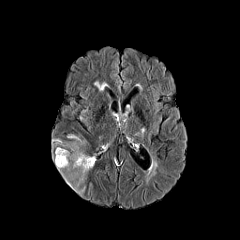
FLAIR MR image.
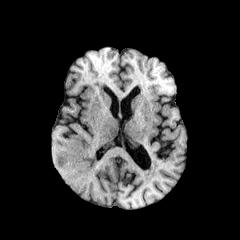
T1-weighted MR image.
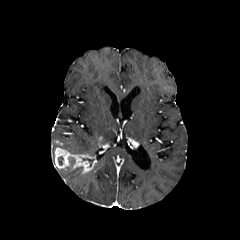
Post-contrast T1-weighted magnetic resonance.
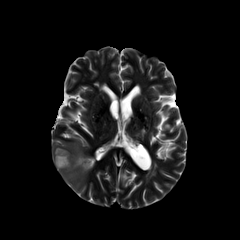
Same slice, T2-weighted MRI.
Brain.
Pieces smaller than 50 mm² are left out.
peritumoral edema = [58, 167, 86, 193], [52, 135, 85, 153]
necrotic tumor core = [83, 158, 93, 166]
enhancing tumor = [55, 147, 96, 174]